Head; Axial slice
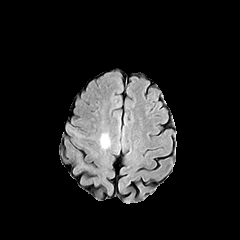
FLAIR MR image.
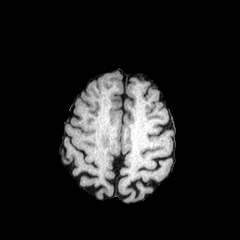
T1-weighted MR image.
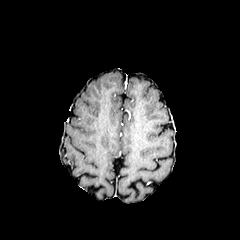
Post-contrast T1-weighted magnetic resonance of the same slice.
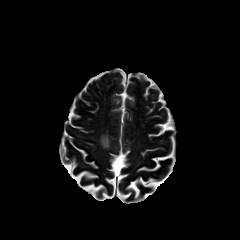
T2-weighted magnetic resonance.
The peritumoral edema is bounded by [x1=100, y1=133, x2=110, y2=149].